Head. Image width 240 mm.
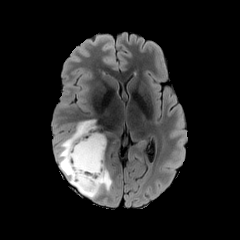
FLAIR MRI.
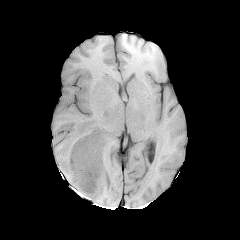
T1-weighted MR image of the same slice.
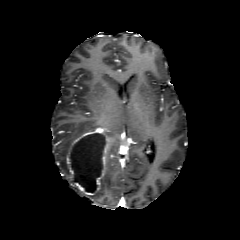
Same slice, post-contrast T1-weighted MR image.
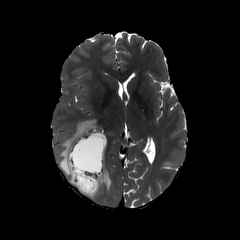
Same slice, T2-weighted MRI.
Annotated regions:
• enhancing tumor: left=66, top=131, right=108, bottom=196
• necrotic tumor core: left=70, top=133, right=106, bottom=191
• peritumoral edema: left=56, top=120, right=97, bottom=185; left=86, top=168, right=112, bottom=198